FLAIR MR.
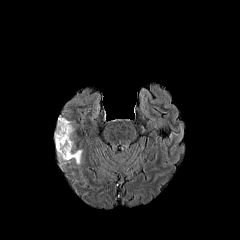
T1-weighted MR image.
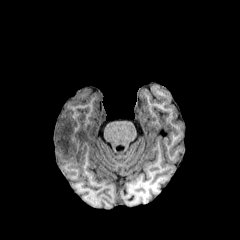
Post-contrast T1-weighted magnetic resonance.
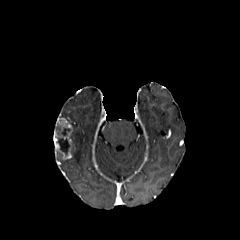
T2-weighted MRI.
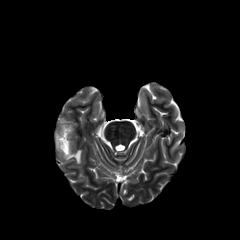
Axial slice; Head
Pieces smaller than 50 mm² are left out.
peritumoral_edema:
  - bbox=[57, 150, 82, 165]
necrotic_tumor_core:
  - bbox=[56, 137, 70, 155]
  - bbox=[56, 126, 70, 136]
enhancing_tumor:
  - bbox=[53, 117, 72, 159]